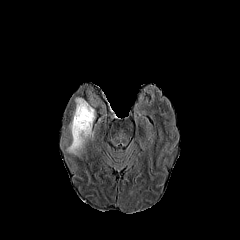
FLAIR MR image.
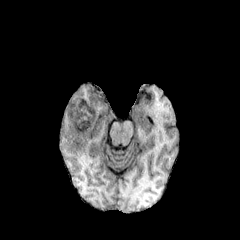
Same slice, T1-weighted MRI.
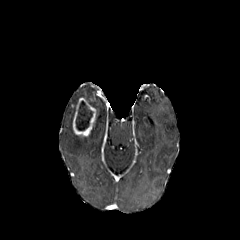
Post-contrast T1-weighted magnetic resonance of the same slice.
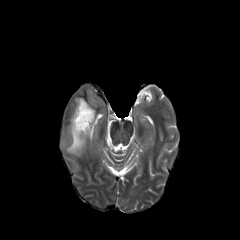
T2-weighted MR.
Axial slice.
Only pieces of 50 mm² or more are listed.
necrotic tumor core: 75:101:92:130
enhancing tumor: 73:98:95:137
peritumoral edema: 66:118:93:156